FLAIR MRI.
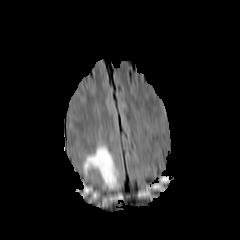
T1-weighted MR.
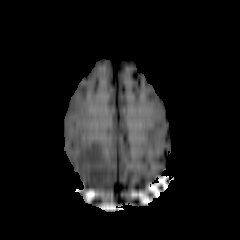
Post-contrast T1-weighted MRI.
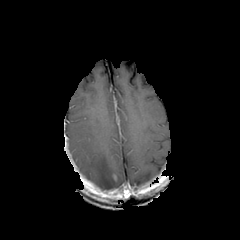
T2-weighted magnetic resonance.
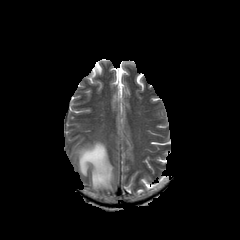
Brain
Annotated regions:
- peritumoral edema: l=82, t=142, r=117, b=189